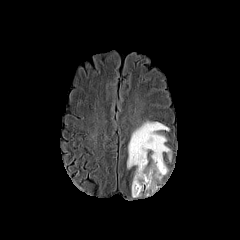
FLAIR MR.
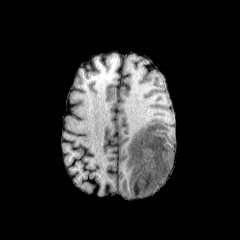
Same slice, T1-weighted MR image.
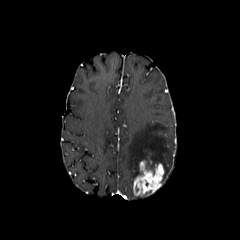
Same slice, post-contrast T1-weighted MR image.
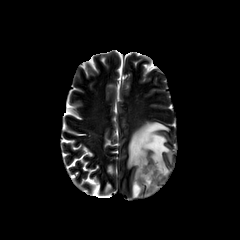
T2-weighted magnetic resonance.
Axial plane
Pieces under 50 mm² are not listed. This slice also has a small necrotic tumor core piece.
enhancing tumor: x1=133 y1=160 x2=164 y2=196
peritumoral edema: x1=127 y1=121 x2=171 y2=178